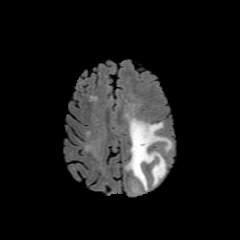
FLAIR MR image.
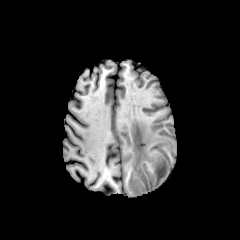
Same slice, T1-weighted magnetic resonance.
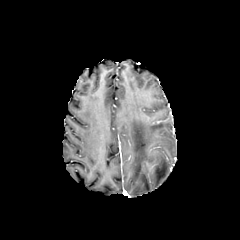
Post-contrast T1-weighted magnetic resonance of the same slice.
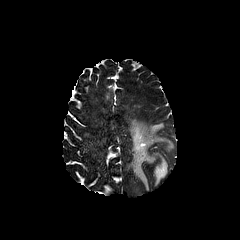
T2-weighted magnetic resonance.
240x240
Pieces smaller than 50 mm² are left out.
Findings:
- peritumoral edema: {"x1": 126, "y1": 118, "x2": 172, "y2": 190}